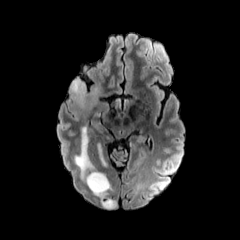
FLAIR MR image.
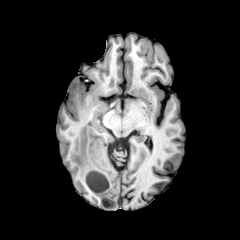
Same slice, T1-weighted MR image.
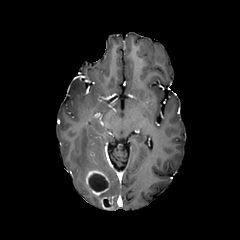
Same slice, post-contrast T1-weighted MRI.
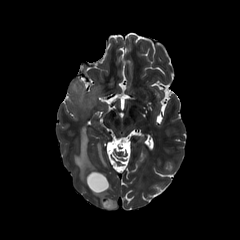
Same slice, T2-weighted MRI.
Brain. Axial slice.
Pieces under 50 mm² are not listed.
peritumoral_edema:
  - bbox(69, 78, 101, 115)
  - bbox(74, 127, 97, 180)
  - bbox(97, 143, 106, 166)
necrotic_tumor_core:
  - bbox(103, 199, 110, 207)
  - bbox(89, 174, 107, 191)
enhancing_tumor:
  - bbox(100, 197, 113, 209)
  - bbox(85, 170, 109, 196)